Head. Image width 240 mm, 1.00 mm slice spacing.
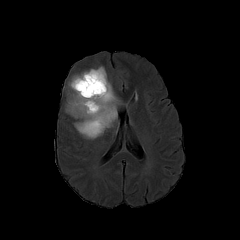
FLAIR MR image.
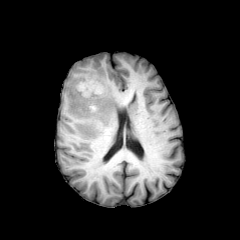
T1-weighted MRI of the same slice.
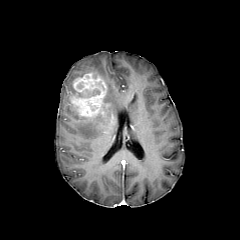
Post-contrast T1-weighted MRI.
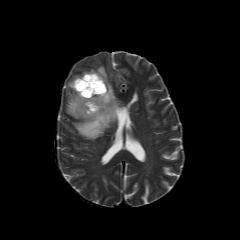
T2-weighted MR of the same slice.
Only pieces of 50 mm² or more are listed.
necrotic tumor core: 86, 89, 99, 96 | peritumoral edema: 66, 66, 118, 139 | enhancing tumor: 70, 72, 109, 119